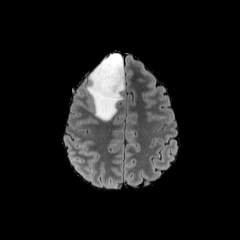
FLAIR MR image.
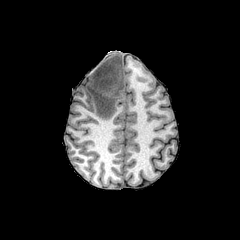
T1-weighted MRI.
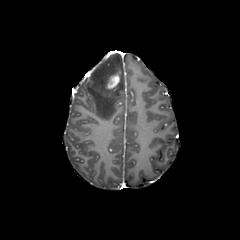
Post-contrast T1-weighted MR image.
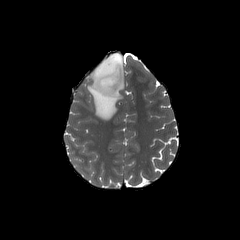
Same slice, T2-weighted MRI.
240x240
peritumoral edema at x1=87 y1=53 x2=124 y2=120
enhancing tumor at x1=106 y1=71 x2=120 y2=89